Head | Slice 91/155 | Image width 240 mm, 1.00 mm slice spacing
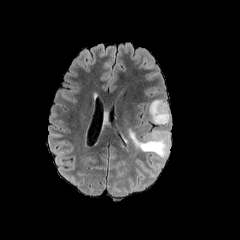
FLAIR MRI.
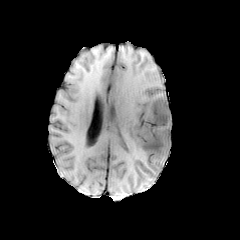
T1-weighted magnetic resonance of the same slice.
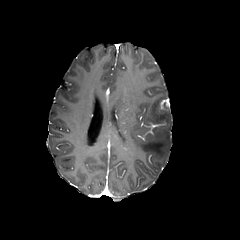
Post-contrast T1-weighted MR image of the same slice.
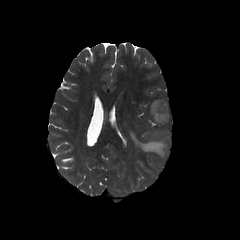
T2-weighted MRI.
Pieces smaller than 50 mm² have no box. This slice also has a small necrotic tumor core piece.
The enhancing tumor is at (158, 99, 168, 111). The 2 largest peritumoral edema regions appear at (149, 99, 170, 124), (129, 129, 170, 170).